FLAIR MRI.
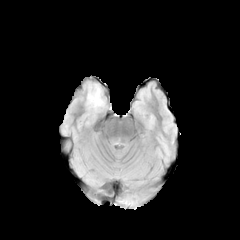
T1-weighted MR image.
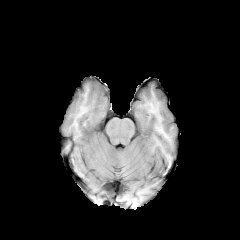
Post-contrast T1-weighted MR.
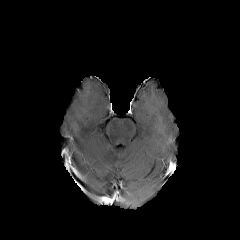
T2-weighted magnetic resonance.
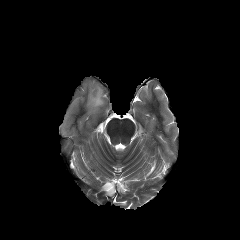
240x240, Brain
peritumoral edema: 87 85 104 111